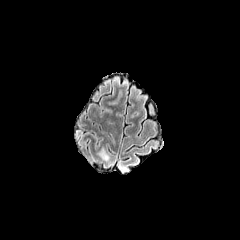
FLAIR MR.
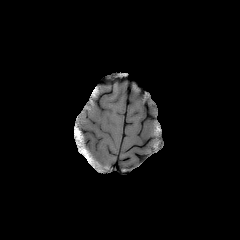
Same slice, T1-weighted MRI.
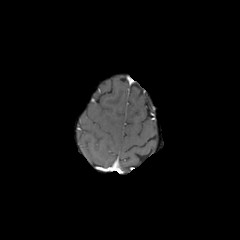
Post-contrast T1-weighted MRI of the same slice.
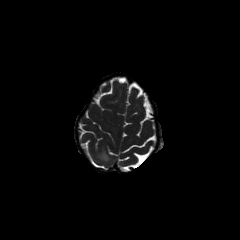
Same slice, T2-weighted MR image.
Axial slice. Head.
- peritumoral edema: (x1=97, y1=147, x2=109, y2=160)